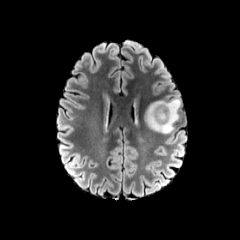
FLAIR MR image.
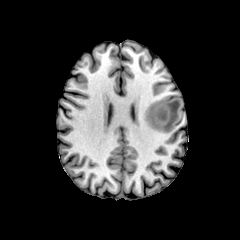
Same slice, T1-weighted MR image.
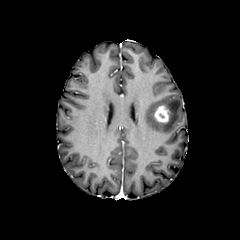
Post-contrast T1-weighted MRI.
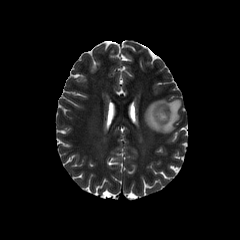
T2-weighted MRI of the same slice.
Axial slice; Head
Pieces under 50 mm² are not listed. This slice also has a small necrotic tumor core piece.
peritumoral edema = 145:99:181:133
enhancing tumor = 154:105:171:123